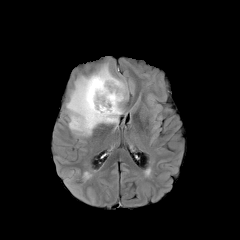
FLAIR MR image.
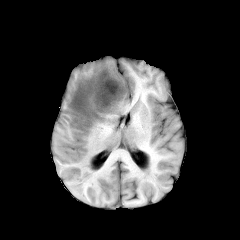
T1-weighted MRI.
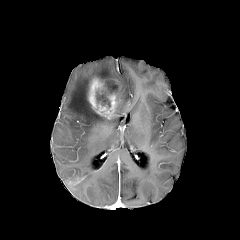
Same slice, post-contrast T1-weighted MR image.
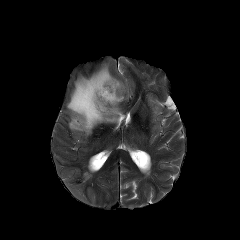
T2-weighted magnetic resonance.
Annotated regions:
• enhancing tumor: bbox(87, 77, 121, 118)
• necrotic tumor core: bbox(97, 92, 110, 106); bbox(106, 81, 118, 92)
• peritumoral edema: bbox(66, 59, 128, 136)